FLAIR MR image.
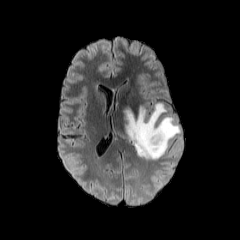
T1-weighted MR image.
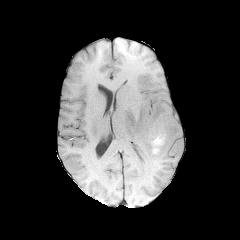
Post-contrast T1-weighted MRI.
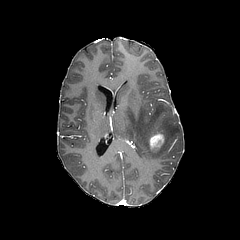
T2-weighted MR image.
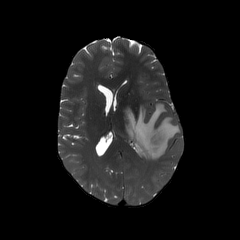
Head
2 peritumoral edema regions are bounded by (left=125, top=102, right=180, bottom=159), (left=174, top=142, right=181, bottom=154). The enhancing tumor lies within (left=149, top=132, right=164, bottom=149).